FLAIR magnetic resonance.
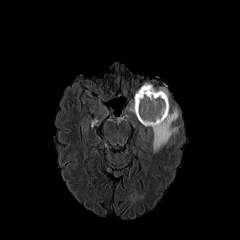
T1-weighted MR image.
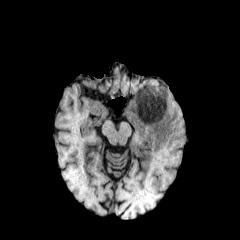
Post-contrast T1-weighted MRI.
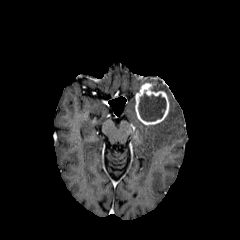
T2-weighted magnetic resonance.
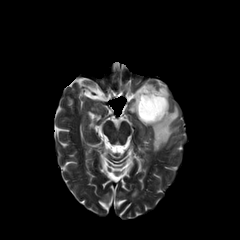
Axial plane | Brain
necrotic tumor core = (138, 94, 166, 121)
peritumoral edema = (129, 101, 135, 113), (153, 87, 168, 98), (144, 106, 179, 152)
enhancing tumor = (135, 83, 169, 125)